Axial slice, Image covers 240 mm x 240 mm
FLAIR MR image.
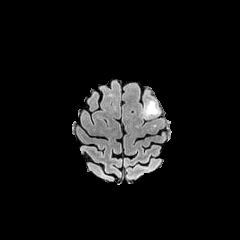
T1-weighted MRI.
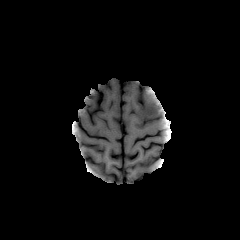
Post-contrast T1-weighted magnetic resonance.
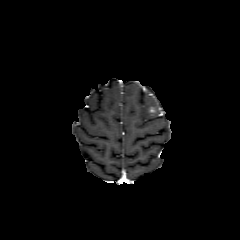
T2-weighted MR image.
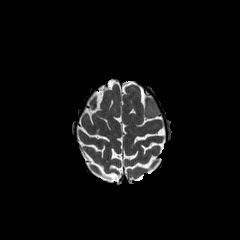
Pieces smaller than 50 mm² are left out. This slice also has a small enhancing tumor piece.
peritumoral edema: rect(143, 101, 158, 114)